Slice 105/155; Axial plane
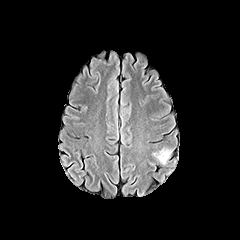
FLAIR MRI.
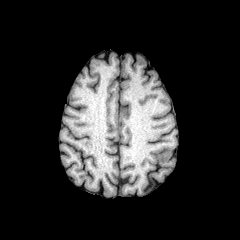
T1-weighted magnetic resonance of the same slice.
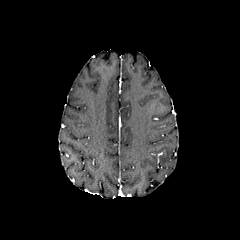
Post-contrast T1-weighted MRI of the same slice.
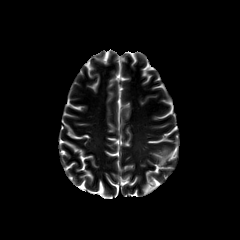
Same slice, T2-weighted magnetic resonance.
peritumoral edema — bbox=[159, 150, 171, 164]